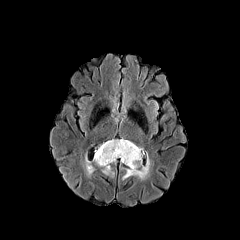
FLAIR MRI.
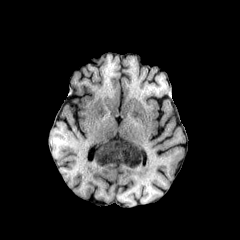
Same slice, T1-weighted MR.
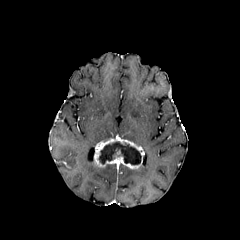
Post-contrast T1-weighted magnetic resonance.
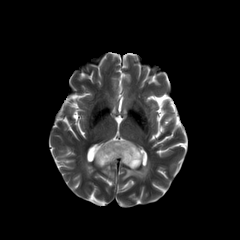
T2-weighted MR image.
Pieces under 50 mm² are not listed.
peritumoral_edema:
  - bbox(102, 165, 113, 176)
  - bbox(85, 160, 94, 174)
  - bbox(122, 160, 149, 179)
enhancing_tumor:
  - bbox(94, 137, 143, 169)
necrotic_tumor_core:
  - bbox(99, 142, 141, 164)